FLAIR MR.
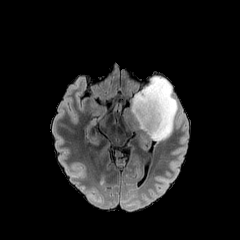
T1-weighted magnetic resonance.
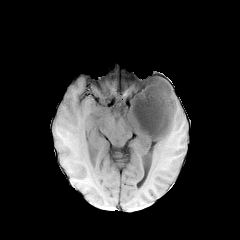
Post-contrast T1-weighted MRI.
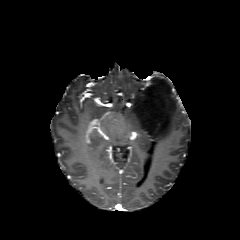
T2-weighted MR.
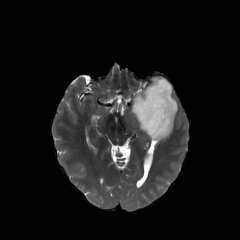
Axial view | 240x240
The peritumoral edema is at (123, 76, 178, 141).